Brain. 240x240 px. Image covers 240 mm x 240 mm.
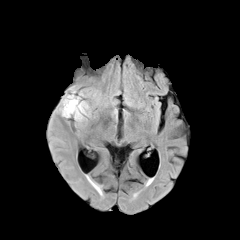
FLAIR MR image.
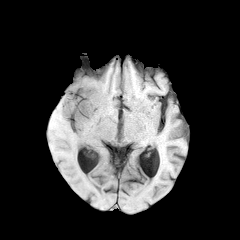
Same slice, T1-weighted MRI.
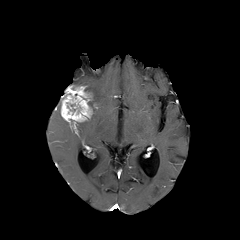
Same slice, post-contrast T1-weighted magnetic resonance.
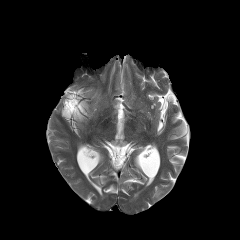
Same slice, T2-weighted MRI.
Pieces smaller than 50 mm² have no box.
enhancing tumor — (61,86,91,124)
peritumoral edema — (88,92,99,100)